Axial plane. Image width 240 mm, 1.00 mm slice spacing.
FLAIR MRI.
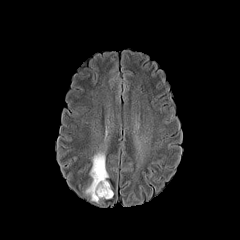
T1-weighted MRI.
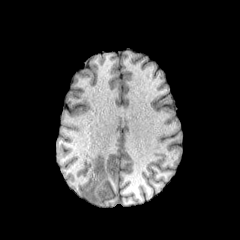
Post-contrast T1-weighted MR.
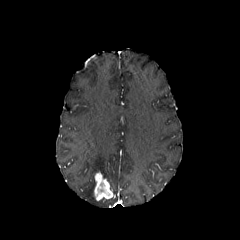
T2-weighted magnetic resonance.
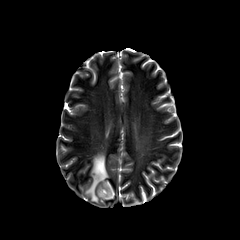
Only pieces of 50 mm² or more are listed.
The enhancing tumor appears at box=[94, 172, 113, 200]. The largest peritumoral edema region is located at box=[85, 151, 109, 202]. The necrotic tumor core lies within box=[97, 179, 110, 196].